FLAIR magnetic resonance.
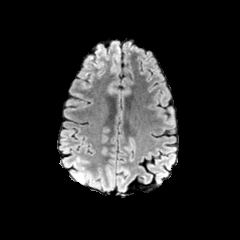
T1-weighted MR image.
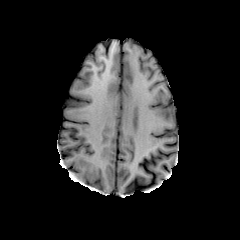
Post-contrast T1-weighted magnetic resonance.
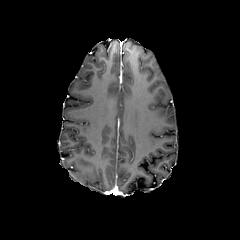
T2-weighted MR image.
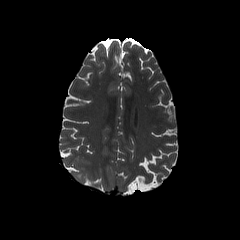
Axial slice.
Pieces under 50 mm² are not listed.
The largest peritumoral edema region lies within 73,166,91,183.